Axial slice
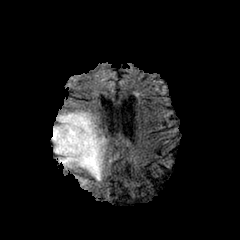
FLAIR magnetic resonance.
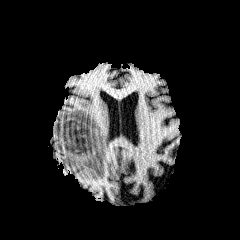
T1-weighted magnetic resonance of the same slice.
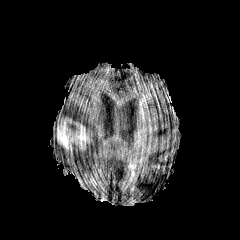
Post-contrast T1-weighted MR image.
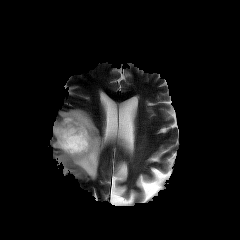
T2-weighted MR image of the same slice.
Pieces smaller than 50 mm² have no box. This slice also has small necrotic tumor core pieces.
peritumoral edema: bounding box bbox(52, 109, 101, 180)
enhancing tumor: bounding box bbox(56, 117, 92, 158)